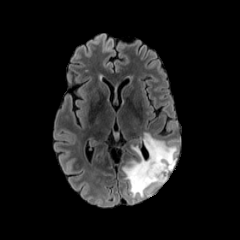
FLAIR MR image.
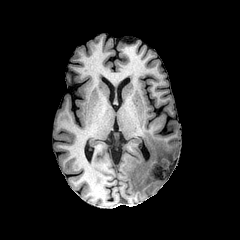
T1-weighted MR of the same slice.
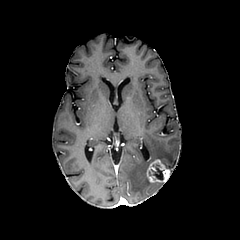
Same slice, post-contrast T1-weighted MR image.
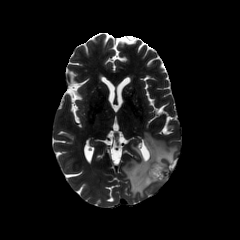
T2-weighted MR.
Head
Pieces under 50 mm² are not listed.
necrotic tumor core — 151:164:163:180
peritumoral edema — 123:131:177:197
enhancing tumor — 146:159:172:182